FLAIR MR.
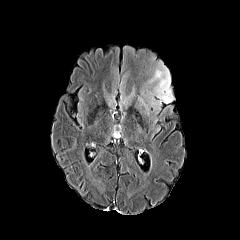
T1-weighted MRI.
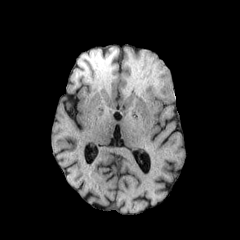
Post-contrast T1-weighted MR image.
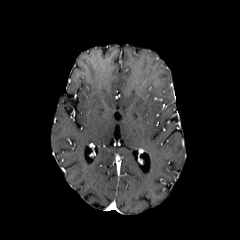
T2-weighted MR.
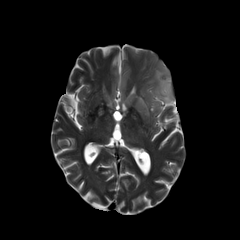
Brain.
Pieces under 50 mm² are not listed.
peritumoral edema — bbox(148, 61, 173, 109)